Slice 76 of 155, Brain
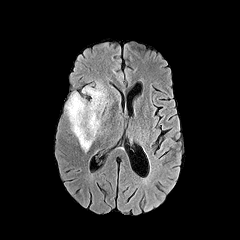
FLAIR MRI.
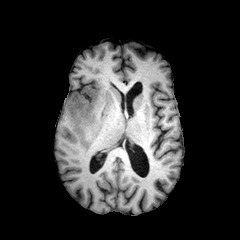
Same slice, T1-weighted MR image.
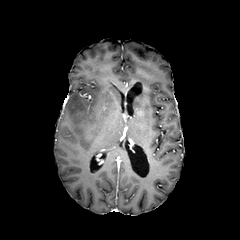
Post-contrast T1-weighted magnetic resonance.
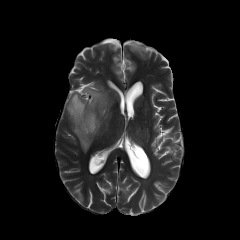
T2-weighted MR.
The peritumoral edema is located at 66:84:107:151.